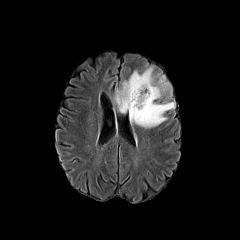
FLAIR magnetic resonance.
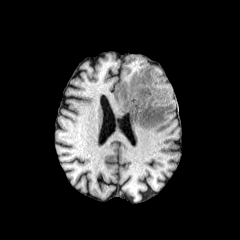
T1-weighted MR image.
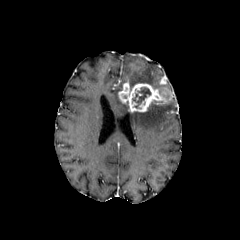
Post-contrast T1-weighted magnetic resonance.
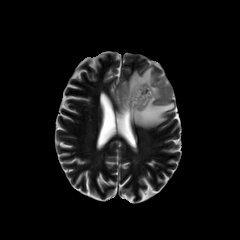
Same slice, T2-weighted MR.
Image size 240x240
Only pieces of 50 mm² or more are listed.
<segmentation>
  <peritumoral_edema>128, 66, 168, 93; 114, 89, 128, 113; 129, 102, 174, 128</peritumoral_edema>
  <enhancing_tumor>118, 82, 165, 112</enhancing_tumor>
  <necrotic_tumor_core>132, 87, 151, 108</necrotic_tumor_core>
</segmentation>